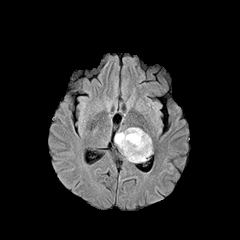
FLAIR MR image.
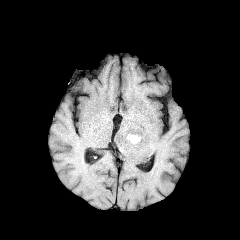
T1-weighted MRI.
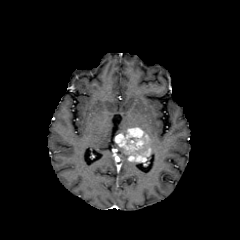
Post-contrast T1-weighted magnetic resonance of the same slice.
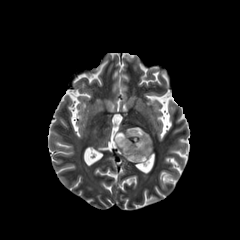
T2-weighted MR image.
Brain
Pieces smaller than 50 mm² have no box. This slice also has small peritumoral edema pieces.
{
  "enhancing_tumor": [
    "x1=114, y1=127, x2=151, y2=162"
  ]
}